Axial view; Head; 240x240 px
FLAIR MRI.
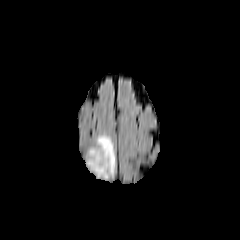
T1-weighted MR.
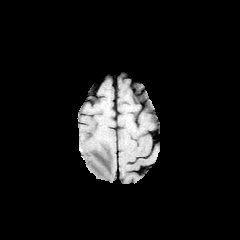
Post-contrast T1-weighted magnetic resonance.
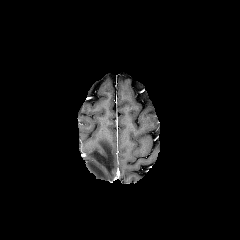
T2-weighted magnetic resonance.
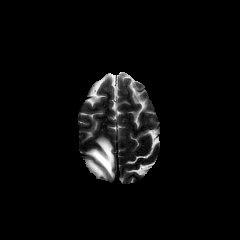
The peritumoral edema appears at x1=86 y1=135 x2=115 y2=178.